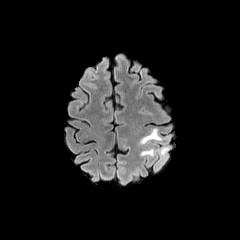
FLAIR MR image.
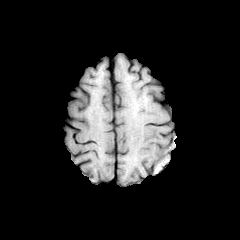
T1-weighted MR image of the same slice.
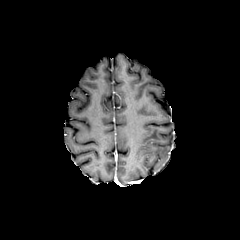
Post-contrast T1-weighted MR.
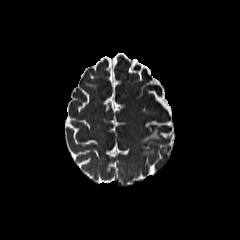
T2-weighted MR image of the same slice.
Head | Axial plane
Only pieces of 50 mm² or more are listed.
The 2 largest peritumoral edema regions are bounded by box(140, 148, 154, 155); box(140, 128, 161, 144).